FLAIR MRI.
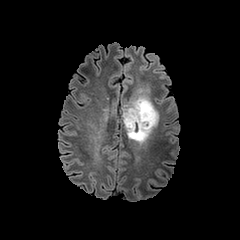
T1-weighted MRI.
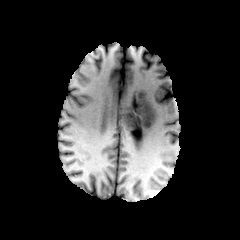
Post-contrast T1-weighted MR image.
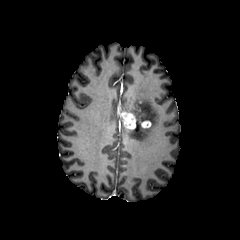
T2-weighted MRI.
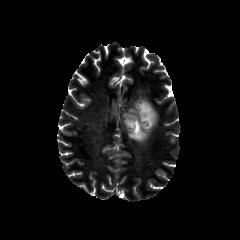
240x240 px, Head
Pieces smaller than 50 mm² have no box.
peritumoral edema: (126,91,157,139) | enhancing tumor: (122,113,135,128), (142,121,151,127)